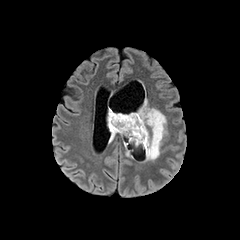
FLAIR MR image.
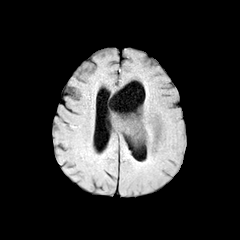
T1-weighted magnetic resonance of the same slice.
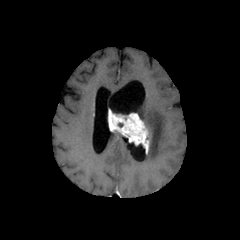
Post-contrast T1-weighted MR image.
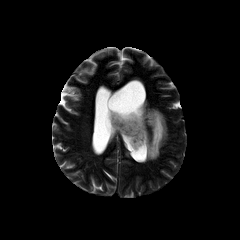
T2-weighted MRI.
Axial slice; 240x240 px; Brain
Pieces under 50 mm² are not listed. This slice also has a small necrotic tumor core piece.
The largest peritumoral edema region appears at [x1=136, y1=98, x2=167, y2=160]. The enhancing tumor lies within [x1=107, y1=109, x2=149, y2=154].